Image width 240 mm | Axial plane
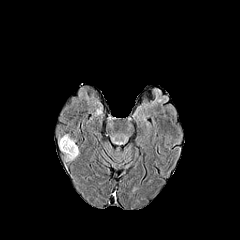
FLAIR magnetic resonance.
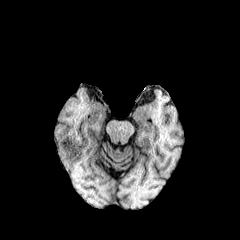
T1-weighted magnetic resonance of the same slice.
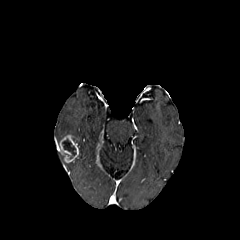
Post-contrast T1-weighted magnetic resonance.
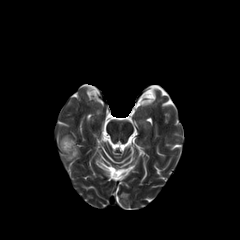
T2-weighted MR image.
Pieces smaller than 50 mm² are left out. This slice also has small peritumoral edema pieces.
enhancing tumor: bounding box box=[59, 135, 78, 162]
necrotic tumor core: bounding box box=[62, 139, 76, 158]